240x240 px; Image width 240 mm
FLAIR magnetic resonance.
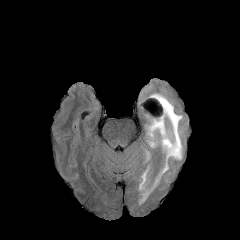
T1-weighted MR.
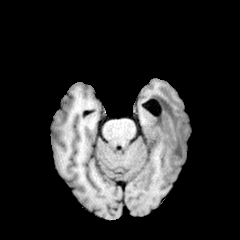
Post-contrast T1-weighted MR.
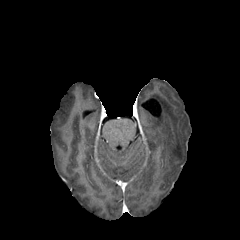
T2-weighted MRI.
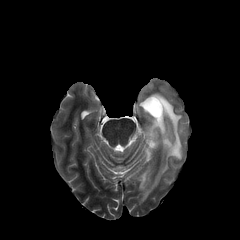
The peritumoral edema is bounded by [139, 93, 183, 204].